Slice index 98
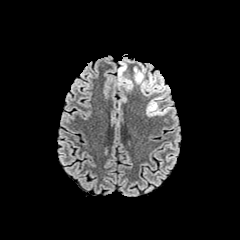
FLAIR MR.
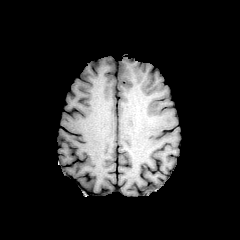
T1-weighted MRI of the same slice.
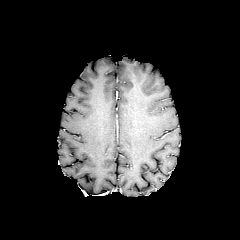
Post-contrast T1-weighted MR of the same slice.
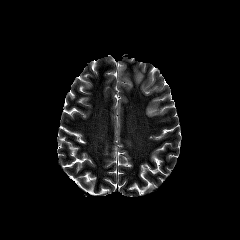
T2-weighted MR.
peritumoral edema at 118:62:132:90, 134:68:166:95, 146:96:169:116